Head, 240x240
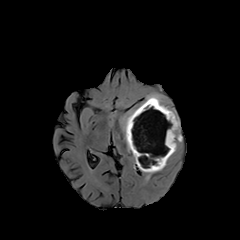
FLAIR magnetic resonance.
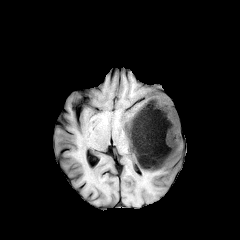
T1-weighted MRI.
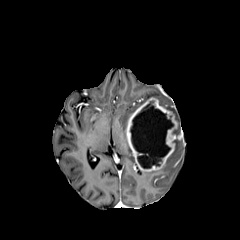
Same slice, post-contrast T1-weighted MR image.
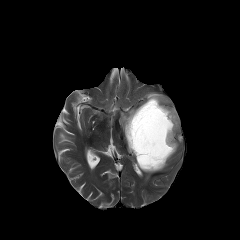
T2-weighted MR of the same slice.
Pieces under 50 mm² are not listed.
Annotated regions:
* necrotic tumor core: l=130, t=101, r=173, b=168
* peritumoral edema: l=146, t=93, r=180, b=134; l=120, t=108, r=137, b=152; l=142, t=155, r=171, b=179
* enhancing tumor: l=125, t=97, r=182, b=171